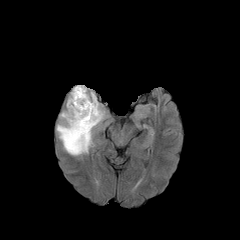
FLAIR MRI.
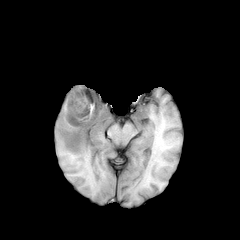
Same slice, T1-weighted MR.
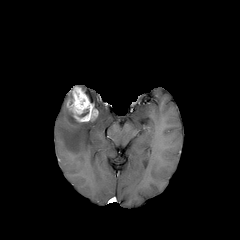
Same slice, post-contrast T1-weighted MR image.
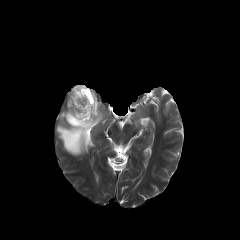
T2-weighted MRI.
Axial plane; Head
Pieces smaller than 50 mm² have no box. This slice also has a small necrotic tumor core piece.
enhancing tumor = (left=67, top=86, right=98, bottom=122)
peritumoral edema = (left=56, top=85, right=105, bottom=155)